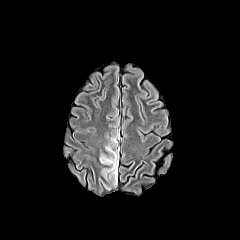
FLAIR MR.
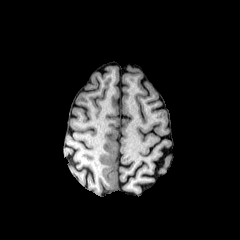
T1-weighted MR.
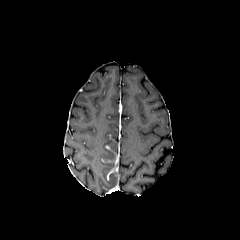
Same slice, post-contrast T1-weighted MRI.
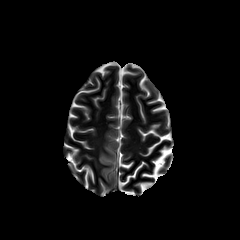
T2-weighted MRI of the same slice.
Head
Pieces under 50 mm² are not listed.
peritumoral_edema:
  - 100,138,118,182